Image size 240x240. Slice 116/155.
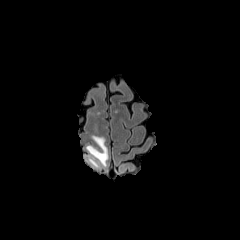
FLAIR MR.
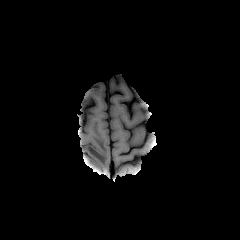
T1-weighted MR.
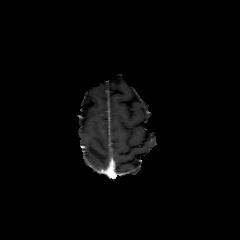
Post-contrast T1-weighted MR.
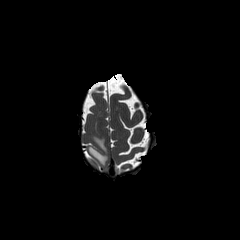
T2-weighted MR of the same slice.
peritumoral edema: l=86, t=135, r=108, b=169